FLAIR MRI.
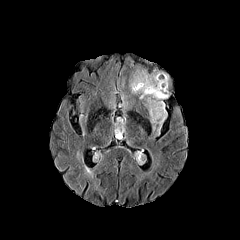
T1-weighted MR.
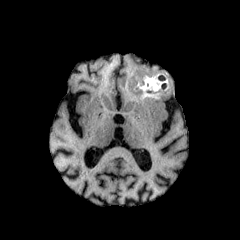
Post-contrast T1-weighted MRI.
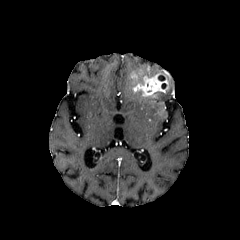
T2-weighted MRI.
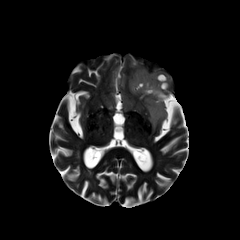
240x240 | Axial plane | Head
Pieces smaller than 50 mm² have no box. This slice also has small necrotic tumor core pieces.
The 2 largest peritumoral edema regions are located at box(134, 90, 169, 132); box(142, 69, 159, 77). The enhancing tumor appears at box(131, 69, 169, 96).